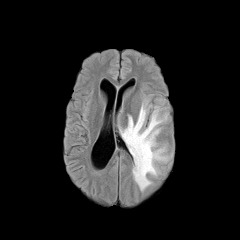
FLAIR MR image.
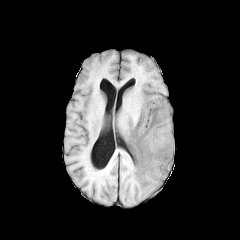
T1-weighted magnetic resonance.
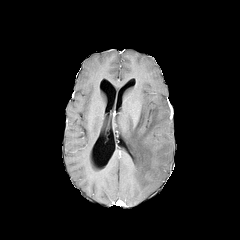
Same slice, post-contrast T1-weighted MR.
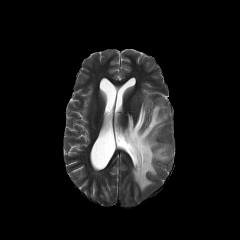
T2-weighted magnetic resonance.
Axial plane. Brain.
peritumoral edema = bbox(120, 100, 171, 190)